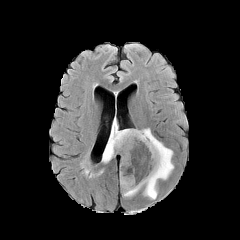
FLAIR MRI.
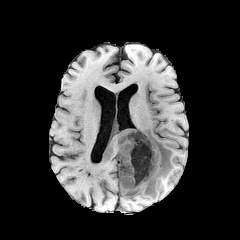
T1-weighted MR image.
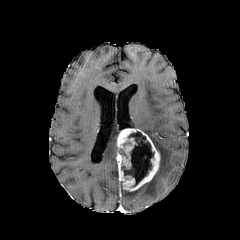
Post-contrast T1-weighted magnetic resonance.
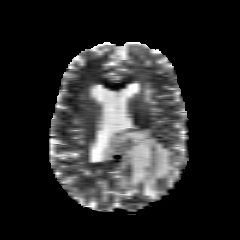
T2-weighted MR.
Brain | Axial plane | Image size 240x240
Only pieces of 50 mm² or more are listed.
The necrotic tumor core appears at x1=121, y1=131, x2=153, y2=186. The 2 largest peritumoral edema regions are bounded by x1=123, y1=128, x2=173, y2=199; x1=102, y1=121, x2=119, y2=162. The enhancing tumor is at x1=116, y1=128, x2=160, y2=191.